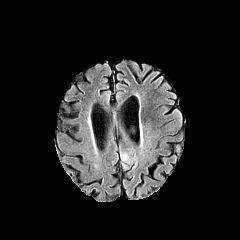
FLAIR magnetic resonance.
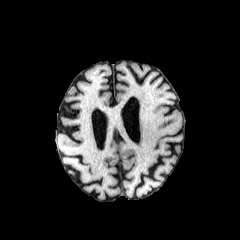
Same slice, T1-weighted MR image.
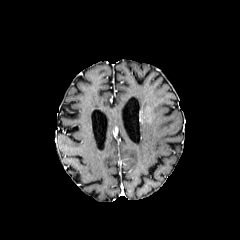
Post-contrast T1-weighted magnetic resonance.
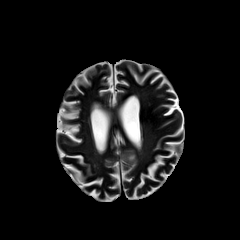
T2-weighted MR.
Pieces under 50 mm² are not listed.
peritumoral_edema:
  - 121 152 131 162